Brain. Slice 65 of 155. Axial slice.
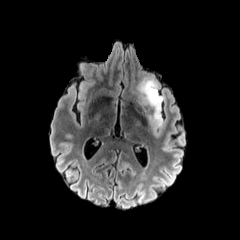
FLAIR MR.
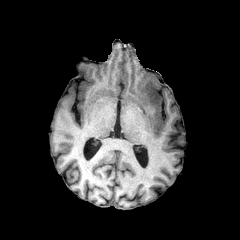
T1-weighted magnetic resonance.
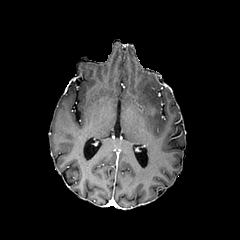
Post-contrast T1-weighted MRI.
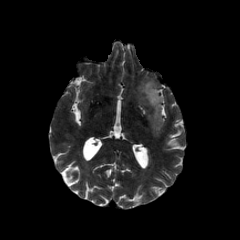
T2-weighted MR.
The peritumoral edema is located at (left=137, top=77, right=164, bottom=131).